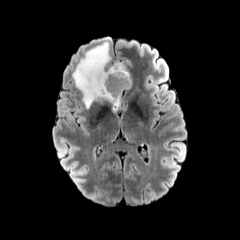
FLAIR MR.
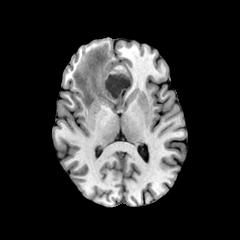
T1-weighted magnetic resonance of the same slice.
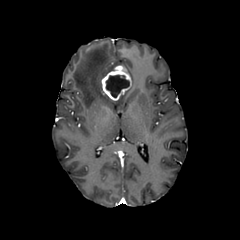
Post-contrast T1-weighted MRI of the same slice.
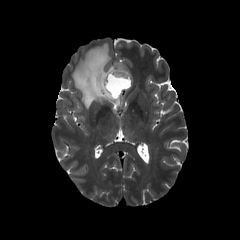
T2-weighted MR image.
Axial view. Brain. 240x240 px.
The necrotic tumor core is at 106 75 129 97. The enhancing tumor is at 101 65 131 100. The peritumoral edema lies within 72 42 123 108.